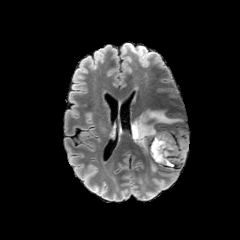
FLAIR MR.
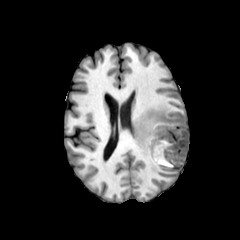
Same slice, T1-weighted MR image.
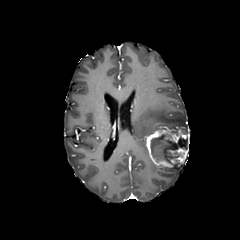
Post-contrast T1-weighted magnetic resonance.
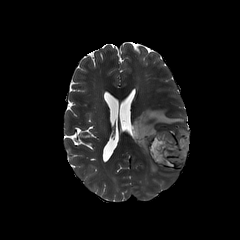
T2-weighted MRI.
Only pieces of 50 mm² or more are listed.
{
  "necrotic_tumor_core": [
    "<bbox>150, 134, 187, 163</bbox>"
  ],
  "peritumoral_edema": [
    "<bbox>130, 109, 187, 155</bbox>"
  ],
  "enhancing_tumor": [
    "<bbox>145, 126, 189, 167</bbox>"
  ]
}